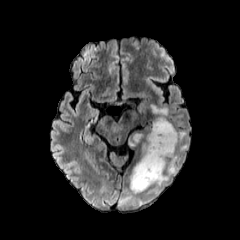
FLAIR MRI.
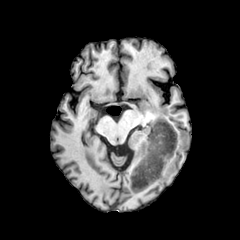
T1-weighted magnetic resonance.
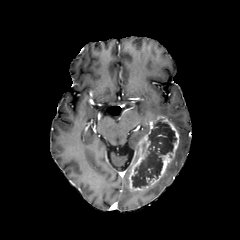
Post-contrast T1-weighted MR.
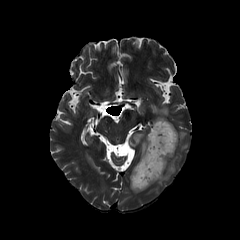
T2-weighted MRI.
Image size 240x240. Head. Axial plane.
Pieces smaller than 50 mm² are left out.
enhancing tumor — 129:115:179:191
necrotic tumor core — 131:119:176:187
peritumoral edema — 133:134:143:143, 151:105:168:117, 155:130:188:185